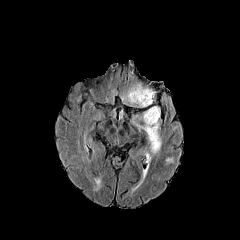
FLAIR magnetic resonance.
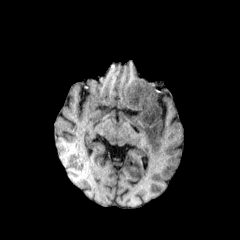
Same slice, T1-weighted MR image.
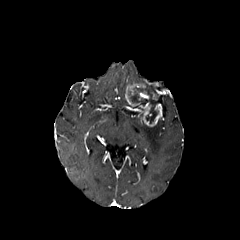
Post-contrast T1-weighted MRI.
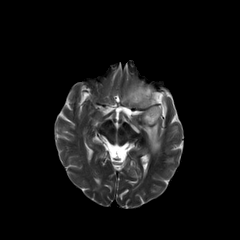
Same slice, T2-weighted MRI.
Head | Axial slice
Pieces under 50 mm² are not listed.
enhancing tumor: {"x1": 125, "y1": 83, "x2": 161, "y2": 126} | peritumoral edema: {"x1": 136, "y1": 121, "x2": 161, "y2": 153} | necrotic tumor core: {"x1": 130, "y1": 86, "x2": 158, "y2": 123}